Image size 240x240; Axial plane
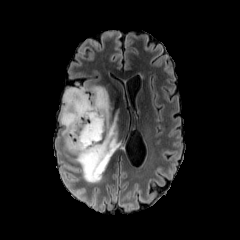
FLAIR MR.
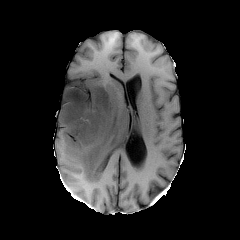
T1-weighted MR.
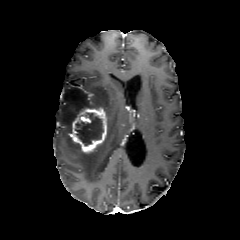
Post-contrast T1-weighted MR image of the same slice.
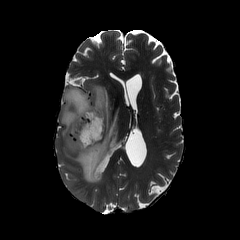
T2-weighted MRI of the same slice.
enhancing tumor at box=[69, 107, 107, 152]
peritumoral edema at box=[60, 86, 120, 183]
necrotic tumor core at box=[75, 113, 103, 145]